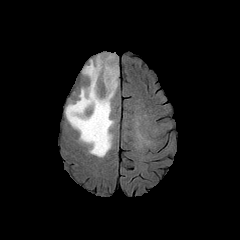
FLAIR MR image.
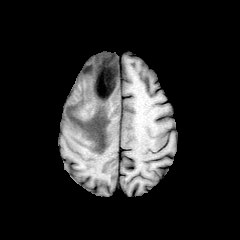
T1-weighted MR.
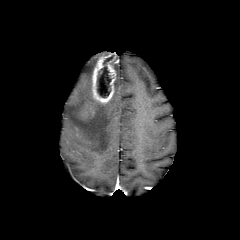
Post-contrast T1-weighted MRI of the same slice.
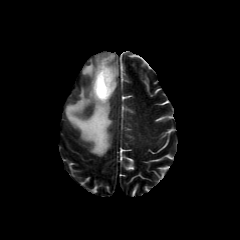
T2-weighted MRI of the same slice.
240x240.
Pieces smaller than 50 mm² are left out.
enhancing tumor: 92 52 118 104
necrotic tumor core: 97 66 111 97
peritumoral edema: 65 57 114 156, 115 64 118 92